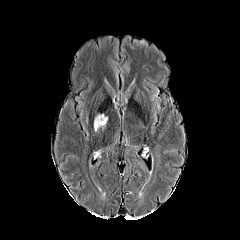
FLAIR MRI.
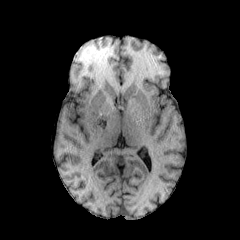
Same slice, T1-weighted MR.
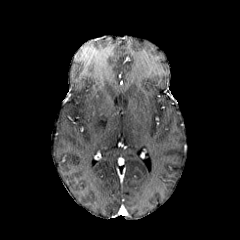
Post-contrast T1-weighted magnetic resonance of the same slice.
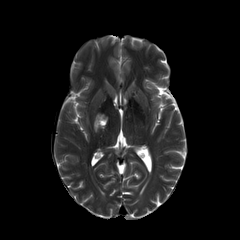
T2-weighted MR of the same slice.
Axial view. Head.
The peritumoral edema appears at x1=94 y1=114 x2=107 y2=131.